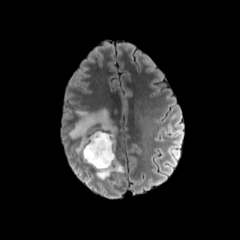
FLAIR MRI.
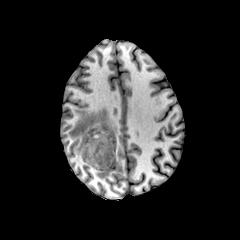
T1-weighted MRI.
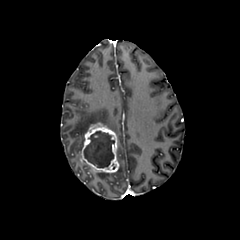
Post-contrast T1-weighted magnetic resonance.
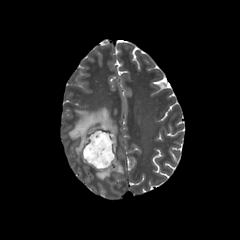
T2-weighted MRI.
Axial plane
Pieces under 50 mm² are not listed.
necrotic tumor core: (84,131,114,167) | peritumoral edema: (68,108,117,152), (96,160,124,179) | enhancing tumor: (80,123,119,173)